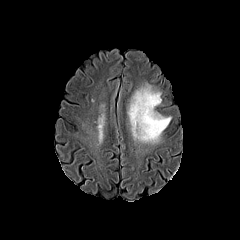
FLAIR MR.
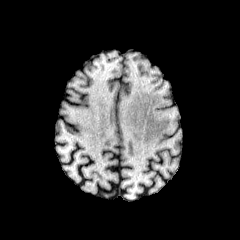
T1-weighted magnetic resonance.
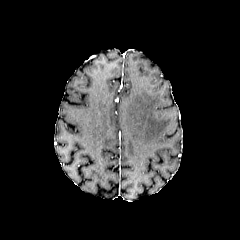
Post-contrast T1-weighted MR image.
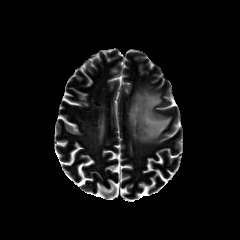
T2-weighted MR image.
Axial plane.
<segmentation>
  <peritumoral_edema>[128,85,171,143]</peritumoral_edema>
</segmentation>